Brain | Image covers 240 mm x 240 mm | 240x240 px | Axial plane
FLAIR MR.
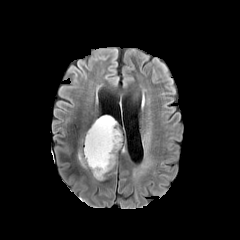
T1-weighted MRI.
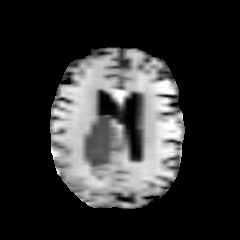
Post-contrast T1-weighted MR.
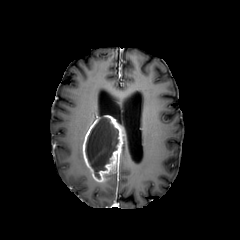
T2-weighted MRI.
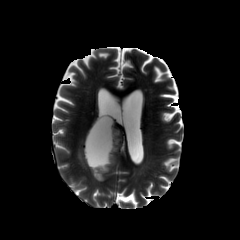
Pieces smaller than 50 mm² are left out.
enhancing tumor — 82 115 124 182
peritumoral edema — 78 151 85 166
necrotic tumor core — 85 117 118 178